Brain. Slice index 56. Image size 240x240.
FLAIR MR image.
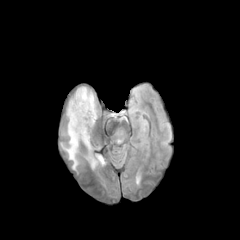
T1-weighted MR.
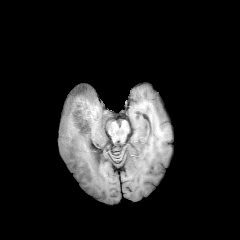
Post-contrast T1-weighted MRI.
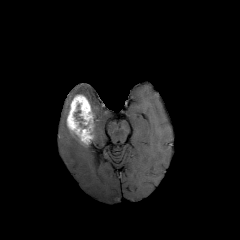
T2-weighted MR.
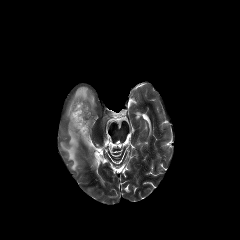
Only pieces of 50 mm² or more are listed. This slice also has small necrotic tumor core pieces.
• enhancing tumor: bbox=[67, 94, 93, 145]
• peritumoral edema: bbox=[75, 87, 96, 124]; bbox=[61, 127, 80, 169]